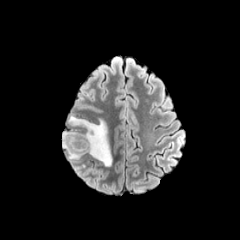
FLAIR MR.
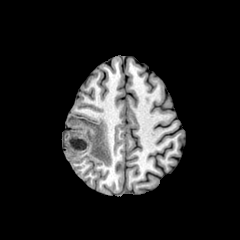
Same slice, T1-weighted magnetic resonance.
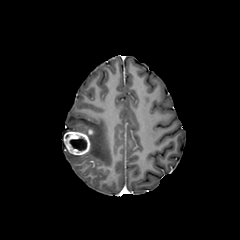
Post-contrast T1-weighted MR.
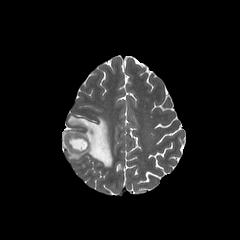
Same slice, T2-weighted MR image.
Head. Axial plane.
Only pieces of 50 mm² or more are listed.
The largest necrotic tumor core region is located at 70, 137, 86, 150. The enhancing tumor appears at 63, 128, 92, 155. The largest peritumoral edema region is bounded by 62, 114, 112, 166.